240x240 px. Image width 240 mm, 1.00 mm slice spacing.
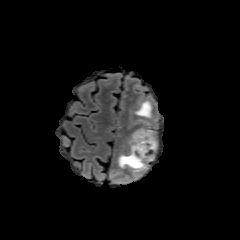
FLAIR magnetic resonance.
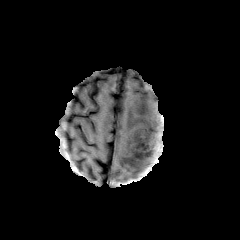
Same slice, T1-weighted MR.
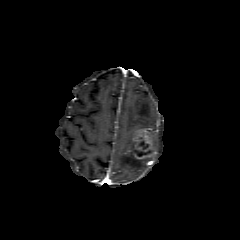
Post-contrast T1-weighted MR.
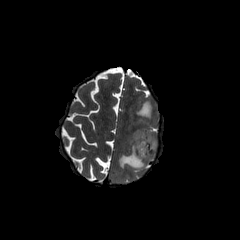
T2-weighted MR image.
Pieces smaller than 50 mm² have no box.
The necrotic tumor core is located at bbox(135, 137, 150, 156). 2 peritumoral edema regions are bounded by bbox(118, 153, 152, 171); bbox(129, 100, 156, 127). The largest enhancing tumor region appears at bbox(128, 124, 157, 159).